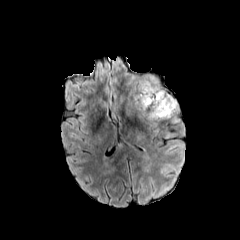
FLAIR MR.
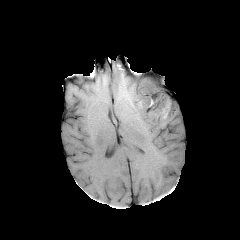
T1-weighted MR image.
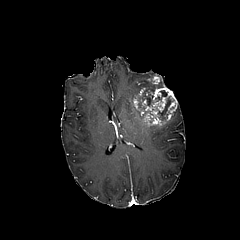
Post-contrast T1-weighted MR image.
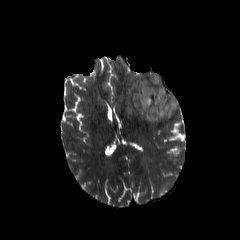
T2-weighted MRI.
240x240. Head.
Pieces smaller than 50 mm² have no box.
The peritumoral edema lies within left=139, top=79, right=154, bottom=88. The 4 largest enhancing tumor regions appear at left=148, top=75, right=159, bottom=84; left=166, top=97, right=177, bottom=120; left=141, top=88, right=173, bottom=125; left=133, top=95, right=138, bottom=108. The 2 largest necrotic tumor core regions are bounded by left=158, top=96, right=174, bottom=121; left=138, top=84, right=166, bottom=110.